Brain; Image width 240 mm, 1.00 mm slice spacing; Slice 40/155; Axial slice
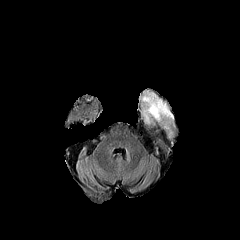
FLAIR magnetic resonance.
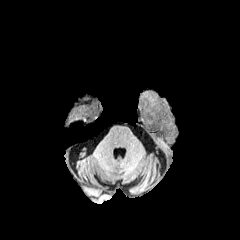
T1-weighted magnetic resonance.
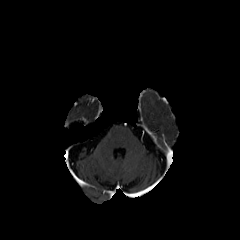
Same slice, post-contrast T1-weighted magnetic resonance.
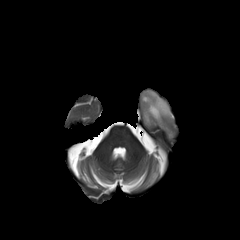
T2-weighted MR image of the same slice.
The peritumoral edema is bounded by x1=142 y1=92 x2=172 y2=121.